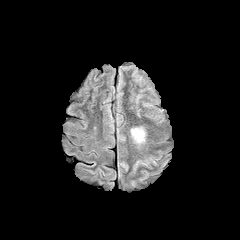
FLAIR MR image.
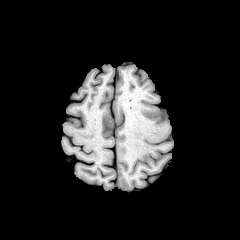
Same slice, T1-weighted magnetic resonance.
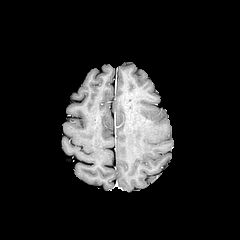
Same slice, post-contrast T1-weighted MR image.
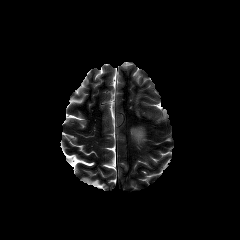
T2-weighted MR image.
Brain; 240x240 px
The peritumoral edema is located at 133:130:143:140.